Slice 93 of 155; Image width 240 mm, 1.00 mm slice spacing
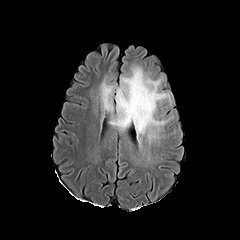
FLAIR MR.
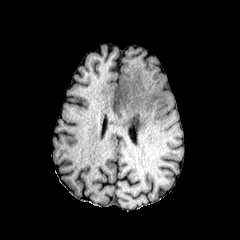
T1-weighted magnetic resonance of the same slice.
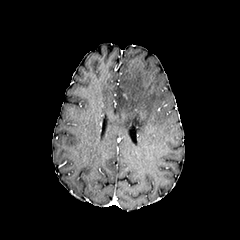
Same slice, post-contrast T1-weighted MR.
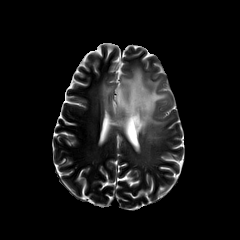
T2-weighted magnetic resonance of the same slice.
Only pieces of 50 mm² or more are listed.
peritumoral edema = (left=100, top=66, right=169, bottom=140)